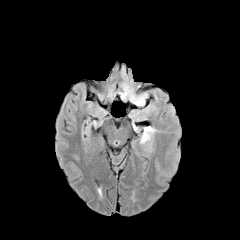
FLAIR MRI.
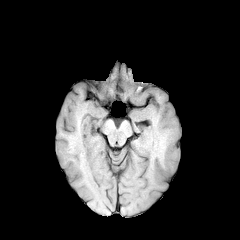
T1-weighted magnetic resonance of the same slice.
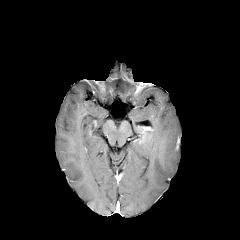
Same slice, post-contrast T1-weighted magnetic resonance.
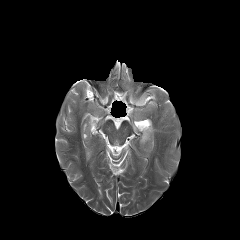
Same slice, T2-weighted magnetic resonance.
Axial slice | Brain
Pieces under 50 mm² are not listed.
enhancing tumor — [140,127,151,142]
peritumoral edema — [139,127,157,156], [142,105,154,112], [129,94,146,105]